Image width 240 mm, 1.00 mm slice spacing. Slice index 49.
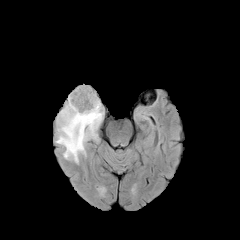
FLAIR magnetic resonance.
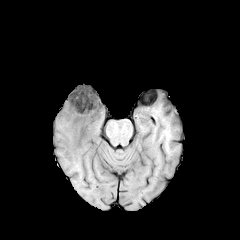
T1-weighted MR.
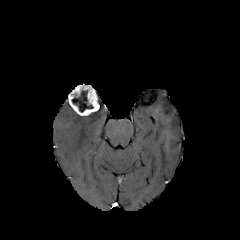
Same slice, post-contrast T1-weighted MRI.
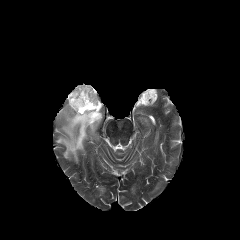
Same slice, T2-weighted MRI.
The enhancing tumor lies within 68,84,99,115. The peritumoral edema appears at 56,100,103,163. The necrotic tumor core appears at 72,91,92,112.